Brain; Axial plane
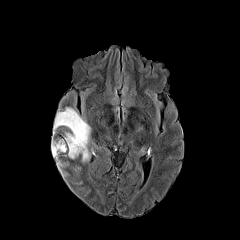
FLAIR MR image.
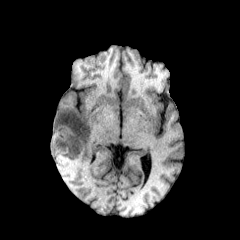
T1-weighted MRI of the same slice.
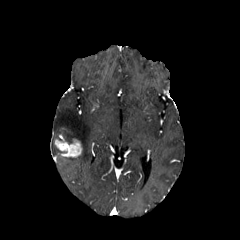
Post-contrast T1-weighted MR of the same slice.
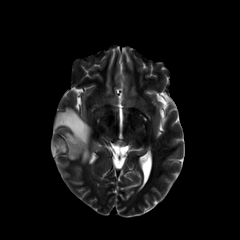
T2-weighted MRI.
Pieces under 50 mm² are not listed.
Annotated regions:
- enhancing tumor: bbox(54, 139, 82, 157)
- peritumoral edema: bbox(56, 160, 67, 167); bbox(51, 141, 61, 156); bbox(53, 107, 90, 162)